FLAIR magnetic resonance.
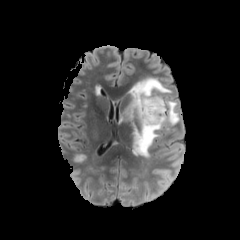
T1-weighted magnetic resonance.
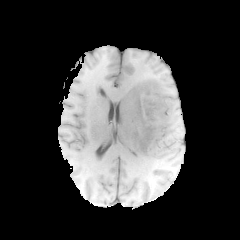
Post-contrast T1-weighted MR image.
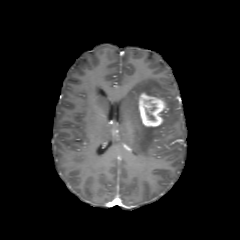
T2-weighted magnetic resonance.
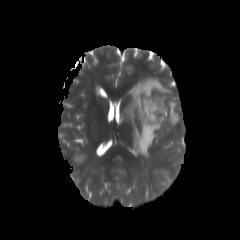
Image size 240x240
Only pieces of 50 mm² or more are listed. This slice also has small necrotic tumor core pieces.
enhancing_tumor:
  - left=138, top=92, right=168, bottom=126
peritumoral_edema:
  - left=125, top=77, right=179, bottom=157